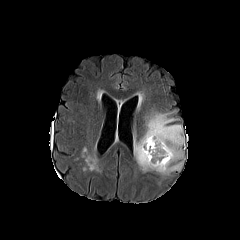
FLAIR MRI.
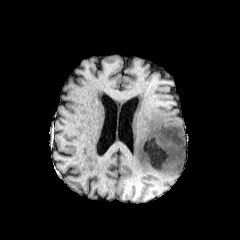
T1-weighted MR.
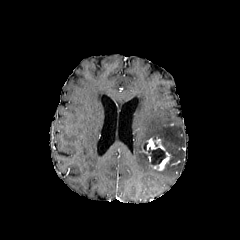
Same slice, post-contrast T1-weighted MRI.
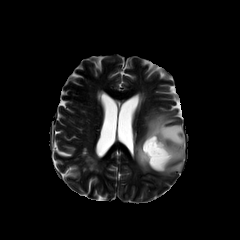
Same slice, T2-weighted MR.
240x240
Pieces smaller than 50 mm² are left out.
The largest peritumoral edema region lies within (left=134, top=112, right=184, bottom=175). The largest enhancing tumor region is at (left=147, top=137, right=171, bottom=170). The largest necrotic tumor core region is located at (left=148, top=147, right=165, bottom=165).